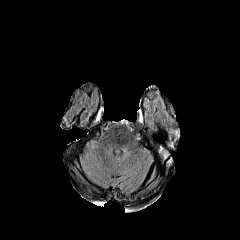
FLAIR magnetic resonance.
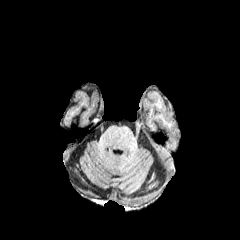
T1-weighted MR.
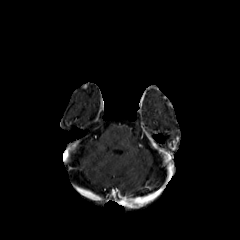
Post-contrast T1-weighted MRI.
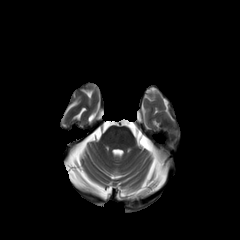
Same slice, T2-weighted magnetic resonance.
Brain.
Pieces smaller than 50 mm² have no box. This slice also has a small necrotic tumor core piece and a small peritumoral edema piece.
{"enhancing_tumor": ["(x1=168, y1=136, x2=179, y2=149)"]}